FLAIR MR.
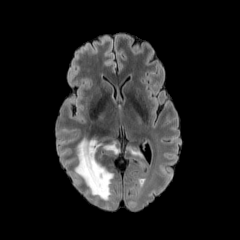
T1-weighted MRI.
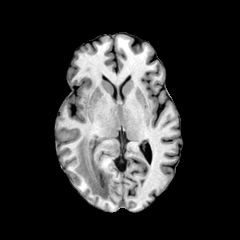
Post-contrast T1-weighted magnetic resonance.
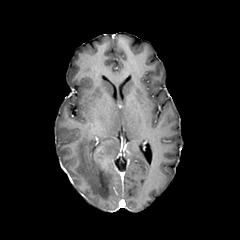
T2-weighted MR image.
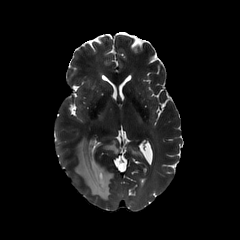
Brain
{
  "peritumoral_edema": [
    "<box>74,138,119,200</box>",
    "<box>128,147,142,156</box>"
  ]
}